Axial slice
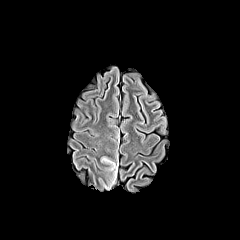
FLAIR MR image.
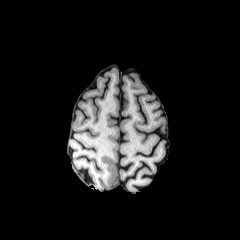
T1-weighted MR image of the same slice.
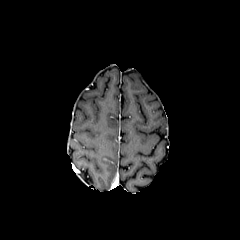
Post-contrast T1-weighted magnetic resonance of the same slice.
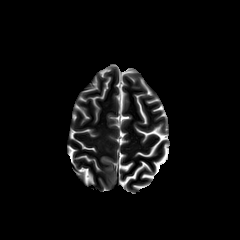
T2-weighted MRI of the same slice.
peritumoral edema at x1=101, y1=157, x2=116, y2=177